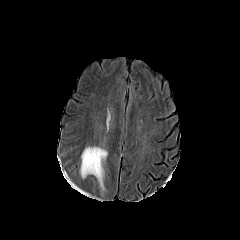
FLAIR MRI.
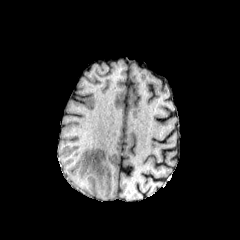
T1-weighted MR.
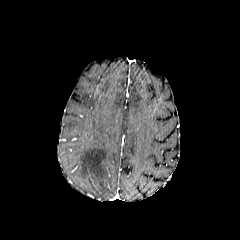
Post-contrast T1-weighted MR.
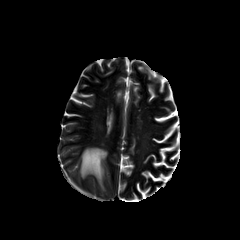
T2-weighted magnetic resonance of the same slice.
Brain
peritumoral edema: bounding box [80,147,107,191]